Image size 240x240 | Axial view
FLAIR MR image.
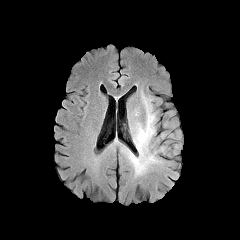
T1-weighted MR.
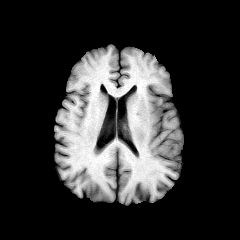
Post-contrast T1-weighted MR.
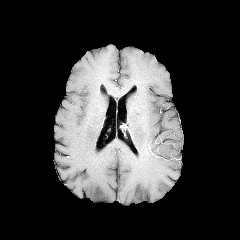
T2-weighted MR.
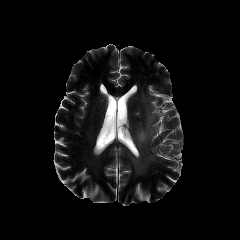
peritumoral edema at rect(130, 97, 156, 172)